FLAIR MR image.
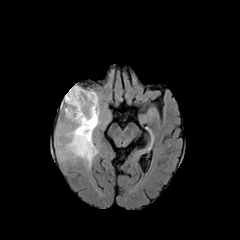
T1-weighted magnetic resonance.
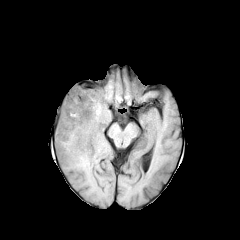
Post-contrast T1-weighted MR image.
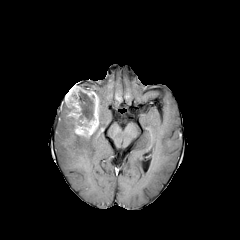
T2-weighted magnetic resonance.
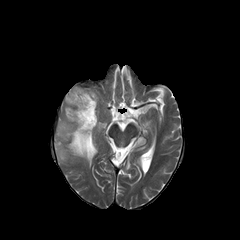
Head | Axial view
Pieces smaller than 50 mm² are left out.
peritumoral edema: 56,107,98,166
enhancing tumor: 65,85,98,138
necrotic tumor core: 78,91,94,121